FLAIR MR.
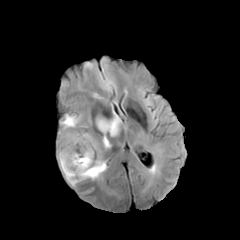
T1-weighted MR image.
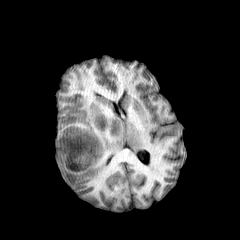
Post-contrast T1-weighted MR image.
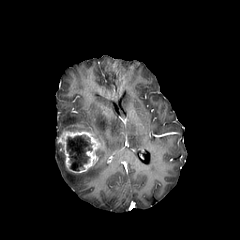
T2-weighted magnetic resonance.
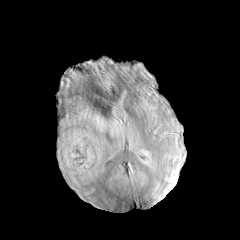
240x240; Brain; Axial view
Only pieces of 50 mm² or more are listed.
The largest necrotic tumor core region is at left=67, top=136, right=92, bottom=170. The enhancing tumor is bounded by left=57, top=125, right=104, bottom=173. The 3 largest peritumoral edema regions are located at left=95, top=115, right=122, bottom=148; left=57, top=151, right=106, bottom=185; left=60, top=112, right=85, bottom=130.